FLAIR MRI.
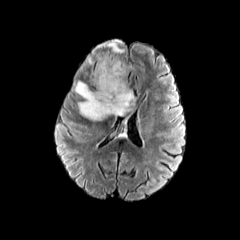
T1-weighted MR image.
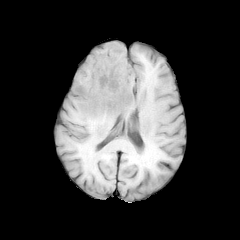
Post-contrast T1-weighted MR image.
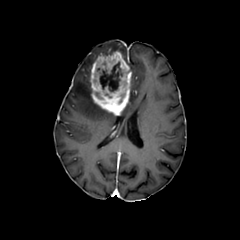
T2-weighted MRI.
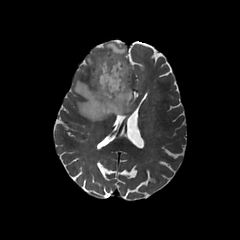
Head. 240x240.
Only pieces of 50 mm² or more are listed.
The 3 largest necrotic tumor core regions are located at (x1=118, y1=92, x2=126, y2=104), (x1=100, y1=61, x2=122, y2=91), (x1=92, y1=89, x2=111, y2=103). The largest enhancing tumor region lies within (x1=89, y1=50, x2=131, y2=115). 4 peritumoral edema regions appear at (x1=96, y1=39, x2=124, y2=54), (x1=120, y1=88, x2=135, y2=116), (x1=87, y1=51, x2=107, y2=68), (x1=74, y1=81, x2=113, y2=121).